Image size 240x240, Image width 240 mm, 1.00 mm slice spacing, Brain
FLAIR MR.
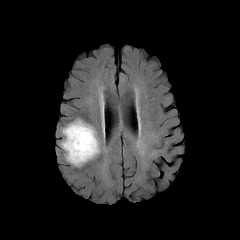
T1-weighted MR.
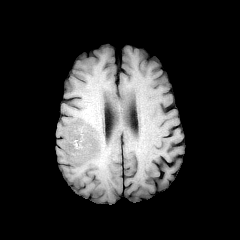
Post-contrast T1-weighted MR.
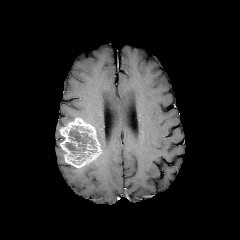
T2-weighted magnetic resonance.
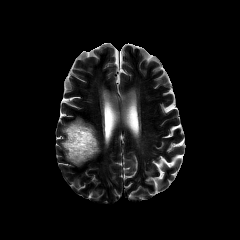
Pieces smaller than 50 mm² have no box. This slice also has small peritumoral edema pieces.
necrotic tumor core at x1=65, y1=126, x2=96, y2=159
enhancing tumor at x1=60, y1=118, x2=101, y2=168